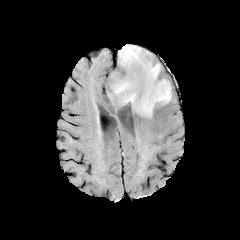
FLAIR MRI.
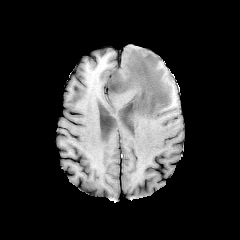
Same slice, T1-weighted magnetic resonance.
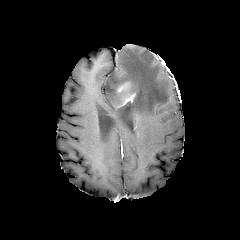
Post-contrast T1-weighted magnetic resonance.
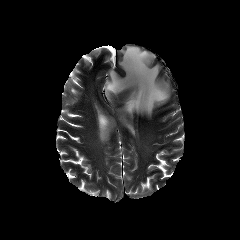
T2-weighted MR image of the same slice.
Axial view, Brain
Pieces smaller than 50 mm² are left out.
enhancing_tumor:
  - bbox(117, 83, 129, 91)
peritumoral_edema:
  - bbox(107, 45, 171, 117)